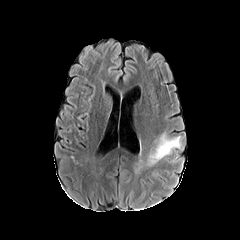
FLAIR MR.
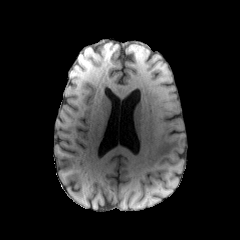
T1-weighted MRI.
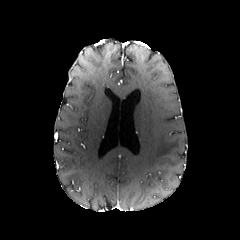
Same slice, post-contrast T1-weighted MR.
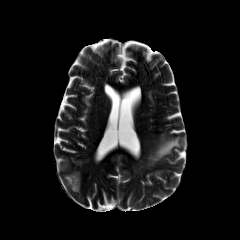
T2-weighted MRI.
Axial view. Brain.
{
  "peritumoral_edema": [
    "147,131,183,165",
    "166,156,182,163"
  ]
}